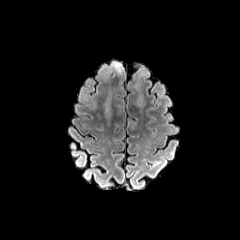
FLAIR MR.
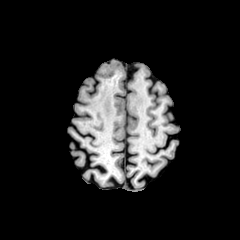
Same slice, T1-weighted MR.
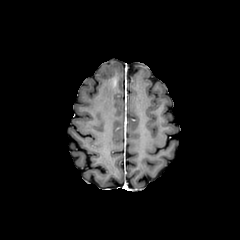
Post-contrast T1-weighted magnetic resonance.
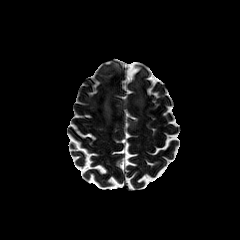
T2-weighted MR image.
240x240, Brain, Axial slice
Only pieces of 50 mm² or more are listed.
peritumoral edema: (x1=105, y1=102, x2=109, y2=114), (x1=108, y1=61, x2=122, y2=73)